240x240
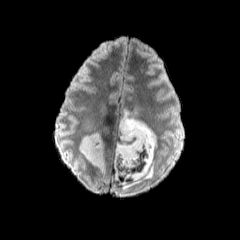
FLAIR MRI.
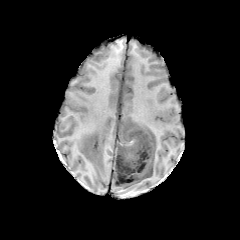
T1-weighted MR of the same slice.
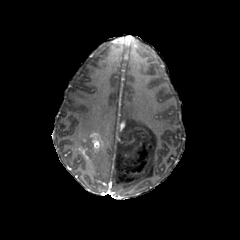
Post-contrast T1-weighted MRI.
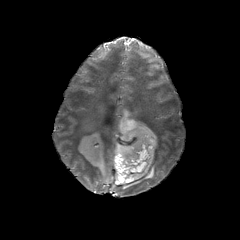
T2-weighted MR image.
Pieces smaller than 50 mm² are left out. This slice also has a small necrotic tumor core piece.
Segmented structures:
- enhancing tumor: <box>117,121,125,134</box>, <box>82,127,108,162</box>
- peritumoral edema: <box>78,134,91,153</box>, <box>92,154,104,173</box>, <box>114,101,156,189</box>